FLAIR magnetic resonance.
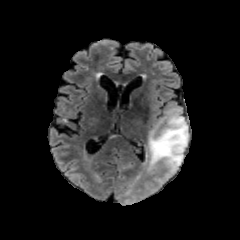
T1-weighted MRI.
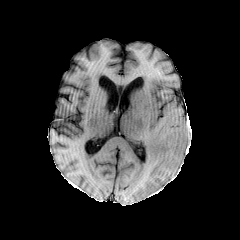
Post-contrast T1-weighted MRI.
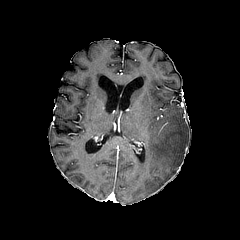
T2-weighted MR image.
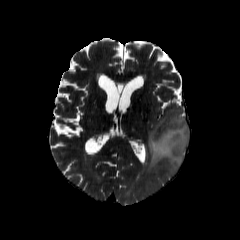
240x240 px
{"peritumoral_edema": ["147,109,188,175"]}